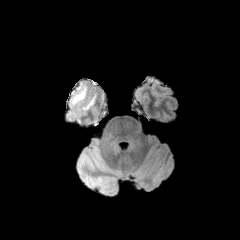
FLAIR MRI.
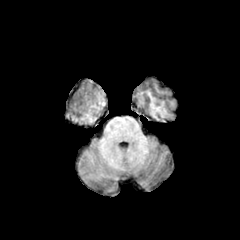
T1-weighted magnetic resonance of the same slice.
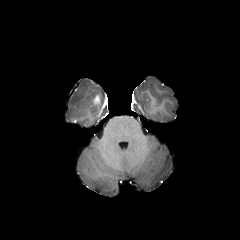
Same slice, post-contrast T1-weighted magnetic resonance.
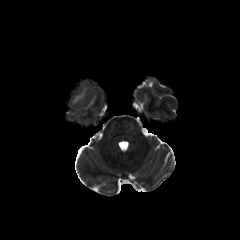
Same slice, T2-weighted MRI.
Head
2 peritumoral edema regions appear at 82:93:97:110, 70:83:87:106. The enhancing tumor is located at 92:95:99:104.